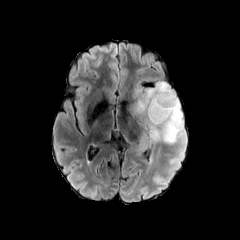
FLAIR MRI.
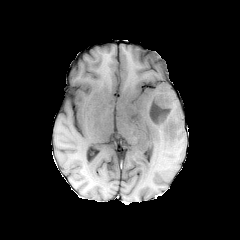
Same slice, T1-weighted MRI.
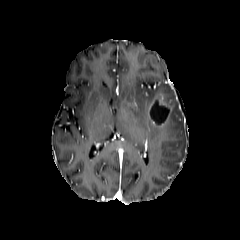
Post-contrast T1-weighted magnetic resonance.
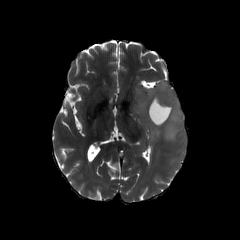
T2-weighted MRI.
Axial plane.
peritumoral edema: <bbox>128, 81, 185, 154</bbox> | necrotic tumor core: <bbox>150, 100, 169, 123</bbox> | enhancing tumor: <bbox>149, 95, 172, 125</bbox>